Head. Axial plane. 240x240 px. Slice 64/155.
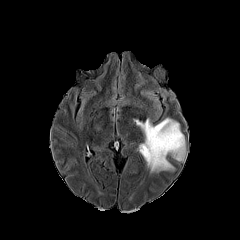
FLAIR MR image.
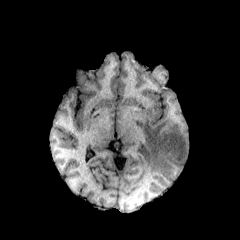
T1-weighted MRI.
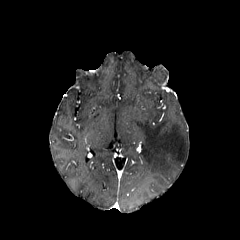
Post-contrast T1-weighted MRI.
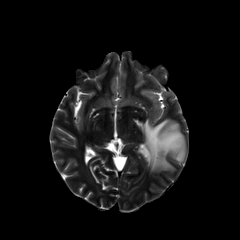
T2-weighted MR of the same slice.
The peritumoral edema appears at x1=134 y1=118 x2=186 y2=172.